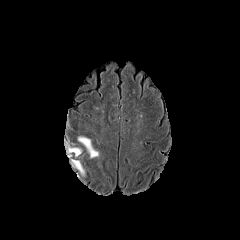
FLAIR MR image.
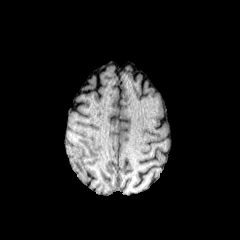
T1-weighted MRI.
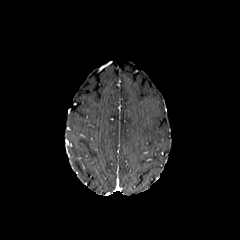
Same slice, post-contrast T1-weighted magnetic resonance.
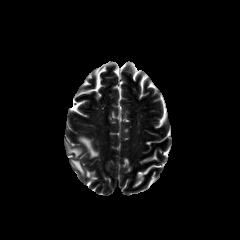
T2-weighted MR image.
3 peritumoral edema regions are located at <bbox>68, 147, 81, 156</bbox>, <bbox>71, 159, 84, 175</bbox>, <bbox>78, 137, 98, 157</bbox>.